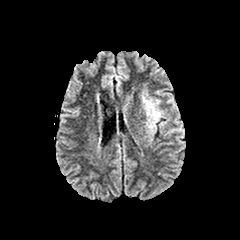
FLAIR MRI.
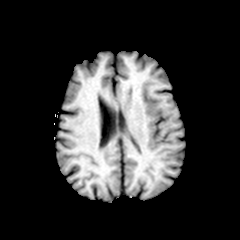
T1-weighted MR image.
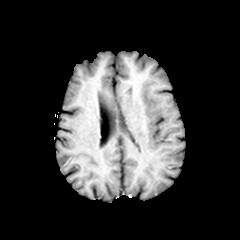
Post-contrast T1-weighted MR.
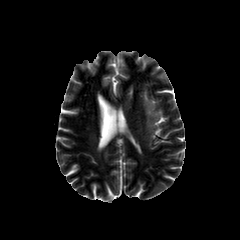
Same slice, T2-weighted MR image.
240x240 px; Axial slice
peritumoral edema: (142,92,161,132)